240x240 px | Image width 240 mm, 1.00 mm slice spacing
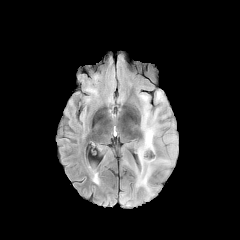
FLAIR MRI.
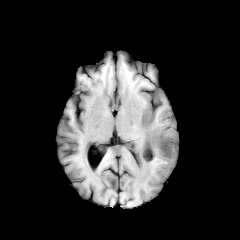
T1-weighted MR image.
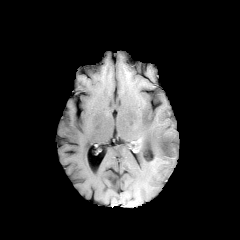
Same slice, post-contrast T1-weighted MRI.
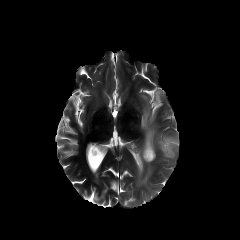
T2-weighted MR image of the same slice.
peritumoral edema — {"x1": 136, "y1": 105, "x2": 177, "y2": 189}